Axial slice. Head. Image width 240 mm, 1.00 mm slice spacing.
FLAIR MRI.
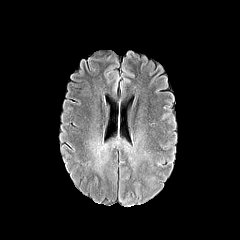
T1-weighted MR.
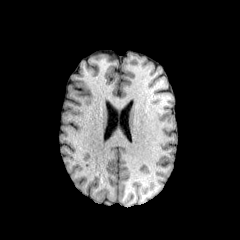
Post-contrast T1-weighted MRI.
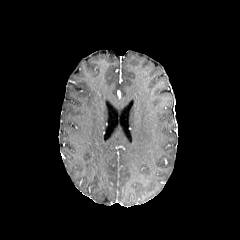
T2-weighted MR image.
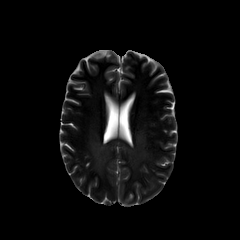
peritumoral edema at <box>85,131,154,182</box>